FLAIR MRI.
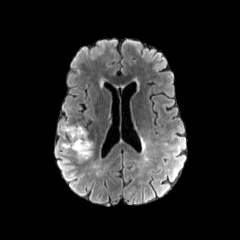
T1-weighted MRI.
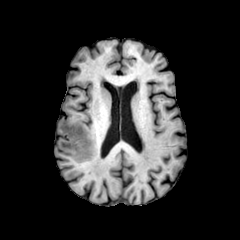
Post-contrast T1-weighted magnetic resonance.
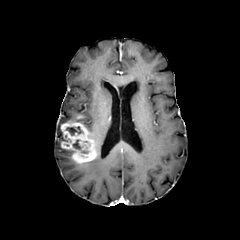
T2-weighted MRI.
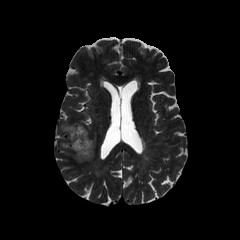
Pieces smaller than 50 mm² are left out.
The largest necrotic tumor core region appears at x1=66, y1=126, x2=82, y2=135. The largest enhancing tumor region is at x1=60, y1=121, x2=96, y2=163.